Head | Axial plane
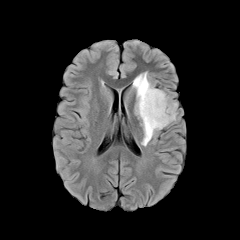
FLAIR MRI.
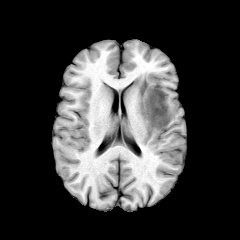
Same slice, T1-weighted magnetic resonance.
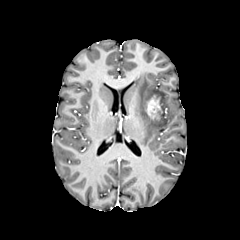
Post-contrast T1-weighted MRI.
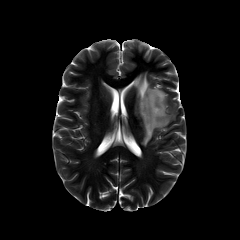
T2-weighted MR image.
peritumoral edema: left=133, top=72, right=177, bottom=146 | enhancing tumor: left=146, top=96, right=160, bottom=118